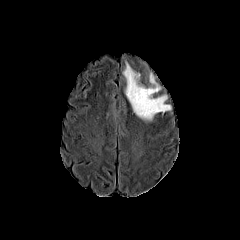
FLAIR magnetic resonance.
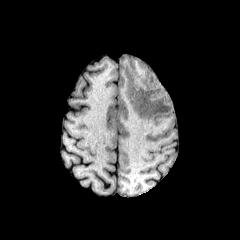
T1-weighted MR.
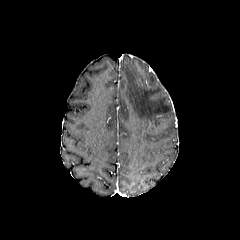
Post-contrast T1-weighted magnetic resonance.
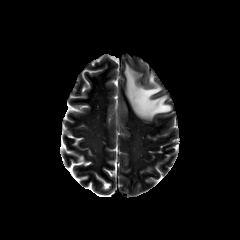
Same slice, T2-weighted MR image.
{
  "peritumoral_edema": [
    "124, 63, 171, 120"
  ]
}